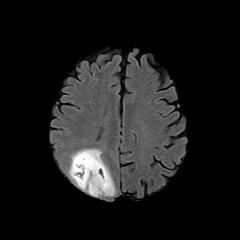
FLAIR magnetic resonance.
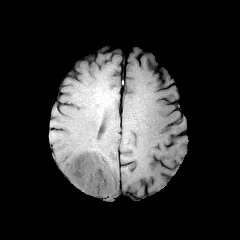
T1-weighted MR image.
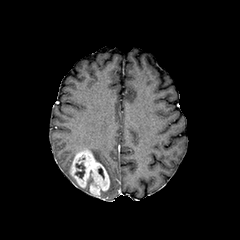
Post-contrast T1-weighted MR of the same slice.
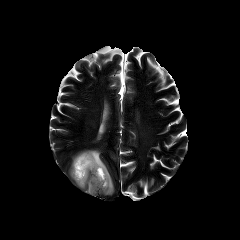
T2-weighted MRI of the same slice.
240x240 | Brain
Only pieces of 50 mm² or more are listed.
peritumoral edema at 81:175:93:194, 68:149:115:196
necrotic tumor core at 75:163:85:178
enhancing tumor at 70:150:109:196